FLAIR MRI.
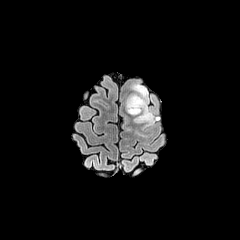
T1-weighted MR image.
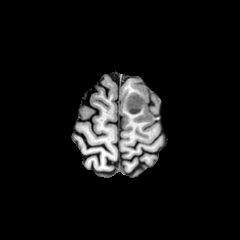
Post-contrast T1-weighted MR image.
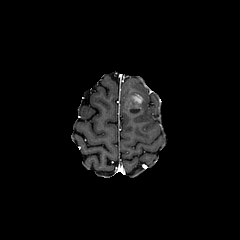
T2-weighted MRI.
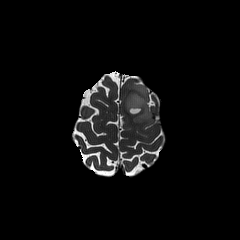
Image size 240x240; Brain
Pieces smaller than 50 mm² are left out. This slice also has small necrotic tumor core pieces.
Segmented structures:
* enhancing tumor: (left=125, top=94, right=143, bottom=115)
* peritumoral edema: (left=125, top=84, right=154, bottom=125)